Image width 240 mm, 1.00 mm slice spacing. Head.
FLAIR MRI.
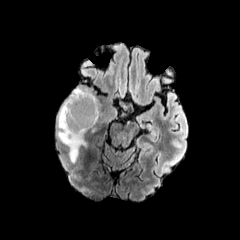
T1-weighted MRI.
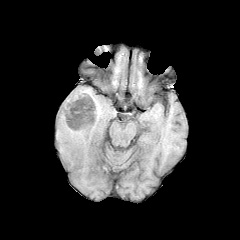
Post-contrast T1-weighted MR image.
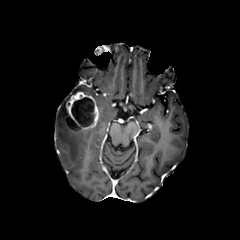
T2-weighted MR.
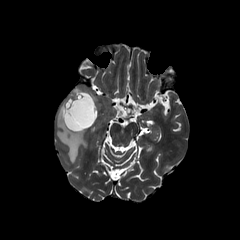
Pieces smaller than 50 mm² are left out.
peritumoral edema: 57:87:99:162 | necrotic tumor core: 71:97:94:126, 66:116:81:129 | enhancing tumor: 65:91:99:131